Slice index 68. Head.
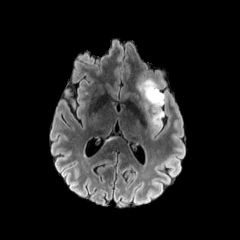
FLAIR MR image.
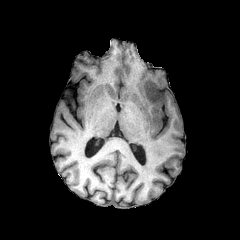
T1-weighted MRI.
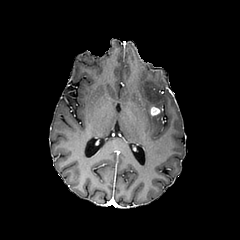
Post-contrast T1-weighted MR.
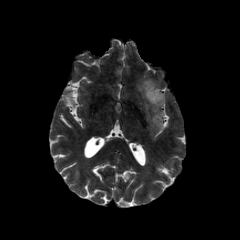
Same slice, T2-weighted MRI.
The enhancing tumor is at box=[150, 106, 160, 115]. The peritumoral edema appears at box=[137, 78, 165, 132].